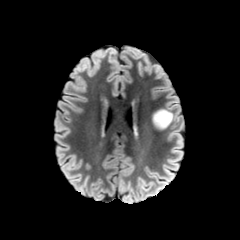
FLAIR MRI.
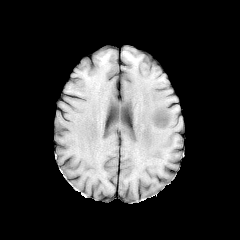
T1-weighted MR of the same slice.
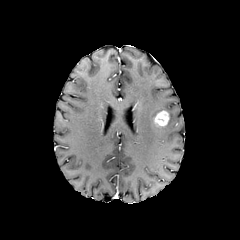
Post-contrast T1-weighted MR.
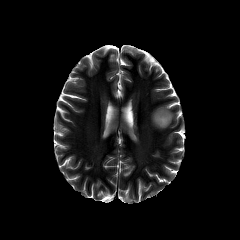
Same slice, T2-weighted MRI.
Brain | Axial slice
The enhancing tumor is at l=153, t=110, r=169, b=126. The peritumoral edema lies within l=152, t=108, r=176, b=129.